FLAIR MR image.
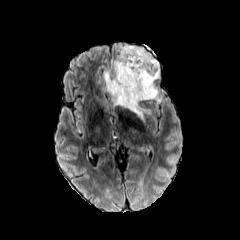
T1-weighted MR.
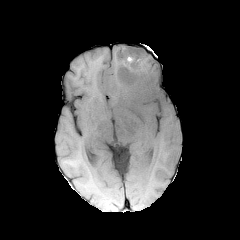
Post-contrast T1-weighted magnetic resonance.
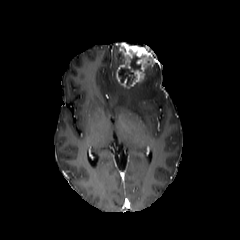
T2-weighted MR.
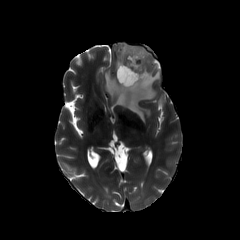
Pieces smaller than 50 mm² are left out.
enhancing tumor: <bbox>116, 43, 157, 88</bbox> | necrotic tumor core: <bbox>118, 55, 141, 84</bbox> | peritumoral edema: <bbox>104, 51, 159, 120</bbox>